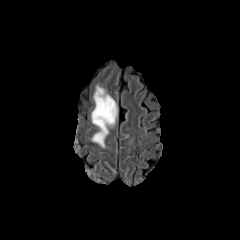
FLAIR MR image.
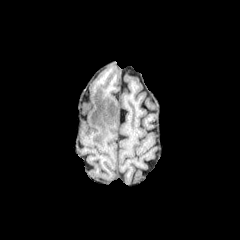
T1-weighted magnetic resonance.
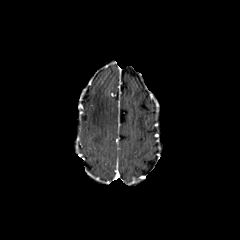
Same slice, post-contrast T1-weighted MR.
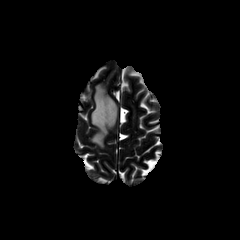
Same slice, T2-weighted MR image.
Brain | 240x240
Annotated regions:
• peritumoral edema: left=91, top=85, right=117, bottom=146